Axial slice | Head
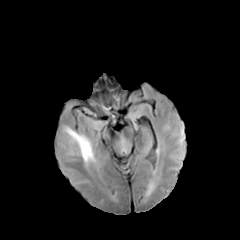
FLAIR MR.
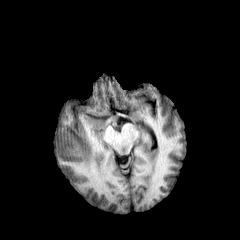
Same slice, T1-weighted MRI.
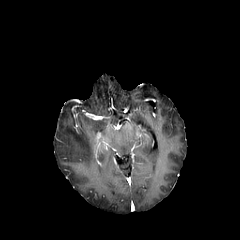
Post-contrast T1-weighted MR image.
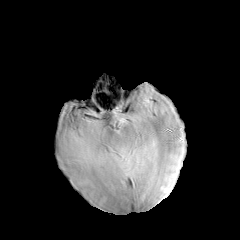
T2-weighted MRI of the same slice.
peritumoral edema: rect(66, 128, 94, 165)